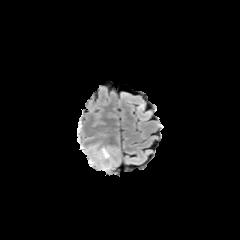
FLAIR MR image.
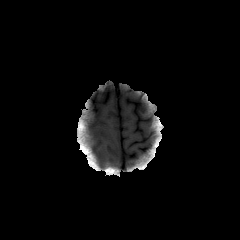
T1-weighted magnetic resonance.
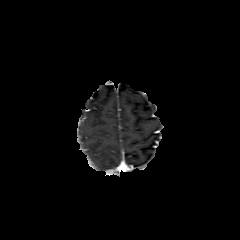
Post-contrast T1-weighted MRI.
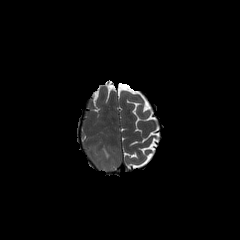
T2-weighted MRI of the same slice.
Axial slice
<segmentation>
  <peritumoral_edema>(x1=104, y1=163, x2=114, y2=171), (x1=90, y1=146, x2=109, y2=168)</peritumoral_edema>
</segmentation>